Slice 92 of 155 | Brain | Axial plane
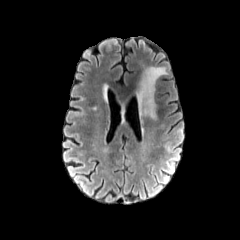
FLAIR MR image.
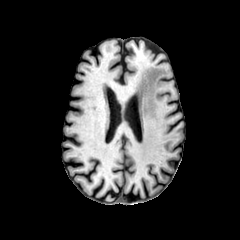
T1-weighted MR.
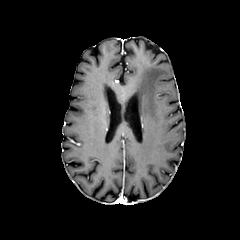
Post-contrast T1-weighted magnetic resonance of the same slice.
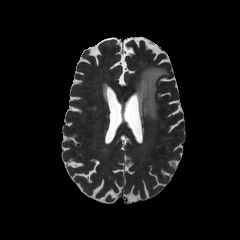
T2-weighted MR of the same slice.
peritumoral edema: bounding box <box>137,66,167,120</box>